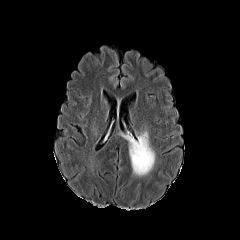
FLAIR MR image.
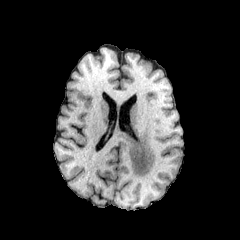
T1-weighted MR of the same slice.
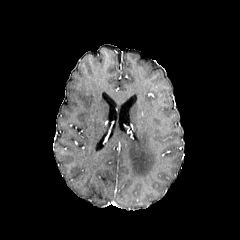
Post-contrast T1-weighted MRI of the same slice.
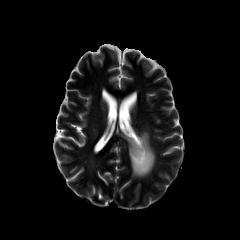
T2-weighted MR.
Axial view, 240x240 px
The peritumoral edema is located at bbox(124, 131, 155, 176).